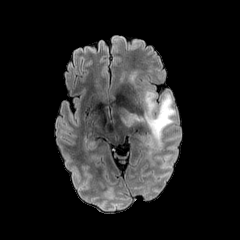
FLAIR MR.
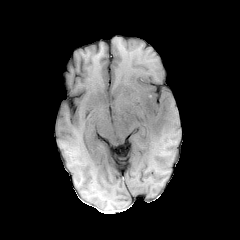
T1-weighted MR image.
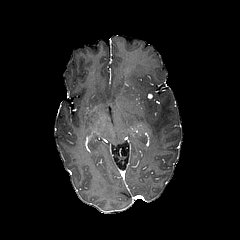
Post-contrast T1-weighted MR of the same slice.
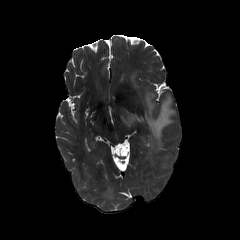
Same slice, T2-weighted MR image.
240x240
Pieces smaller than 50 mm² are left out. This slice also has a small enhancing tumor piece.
peritumoral edema: {"x1": 121, "y1": 91, "x2": 175, "y2": 149}